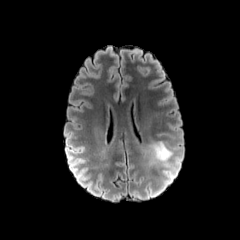
FLAIR MR.
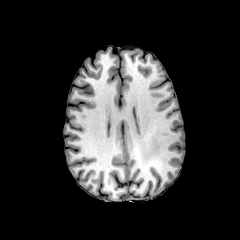
T1-weighted MRI of the same slice.
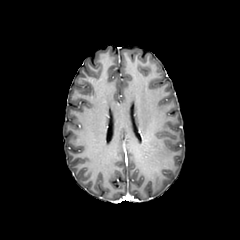
Post-contrast T1-weighted MRI.
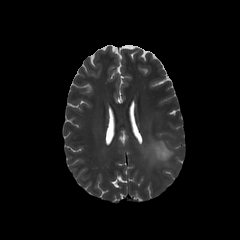
T2-weighted magnetic resonance of the same slice.
Head; Image size 240x240
The peritumoral edema is bounded by {"x1": 151, "y1": 141, "x2": 172, "y2": 163}.